Head; Slice index 124; Axial plane
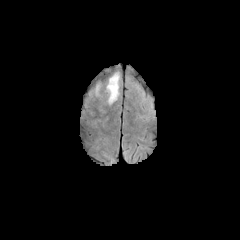
FLAIR magnetic resonance.
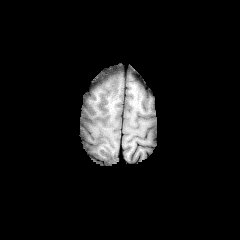
T1-weighted magnetic resonance.
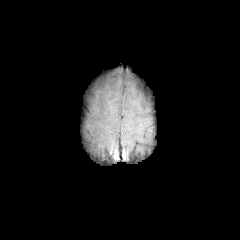
Post-contrast T1-weighted MR of the same slice.
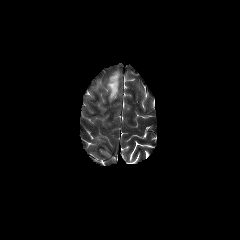
T2-weighted MR of the same slice.
peritumoral_edema:
  - (105, 73, 119, 104)
  - (95, 86, 100, 95)